Image covers 240 mm x 240 mm | 240x240 px
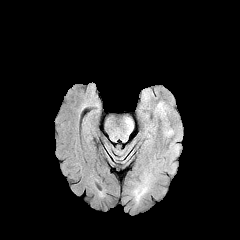
FLAIR MR image.
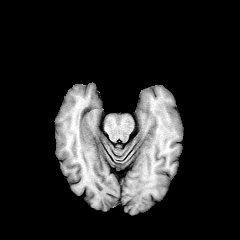
Same slice, T1-weighted magnetic resonance.
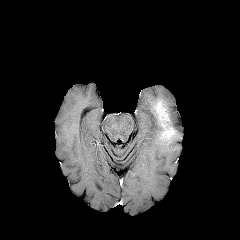
Post-contrast T1-weighted MR image.
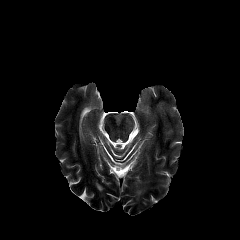
T2-weighted MRI.
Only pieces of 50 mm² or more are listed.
The 2 largest enhancing tumor regions appear at box(164, 128, 173, 136); box(155, 101, 167, 120). The largest peritumoral edema region lies within box(153, 99, 174, 138).